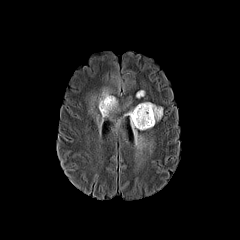
FLAIR MR image.
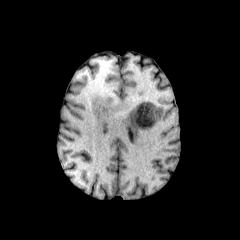
T1-weighted magnetic resonance of the same slice.
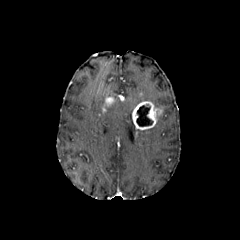
Post-contrast T1-weighted MRI.
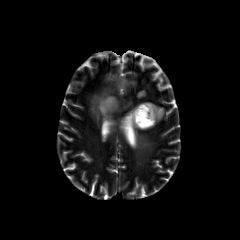
T2-weighted MRI.
240x240
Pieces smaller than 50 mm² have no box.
enhancing_tumor:
  - [102, 97, 114, 111]
  - [132, 101, 162, 129]
necrotic_tumor_core:
  - [136, 105, 153, 126]
peritumoral_edema:
  - [98, 89, 117, 121]
  - [136, 90, 144, 98]
  - [125, 108, 147, 149]